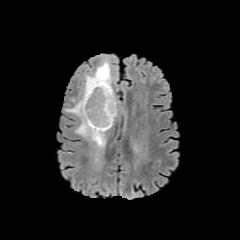
FLAIR MR image.
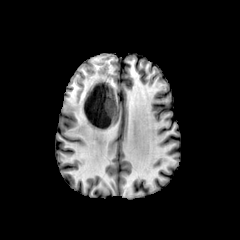
T1-weighted MR.
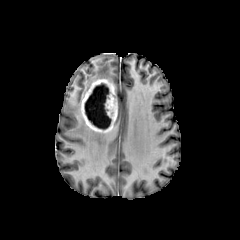
Post-contrast T1-weighted MRI of the same slice.
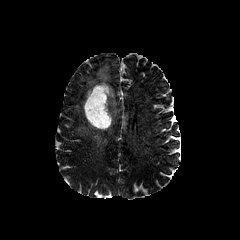
T2-weighted MR.
Head
Annotated regions:
• necrotic tumor core: bbox(84, 83, 111, 129)
• peritumoral edema: bbox(66, 62, 111, 148)
• enhancing tumor: bbox(81, 79, 117, 132)